FLAIR MR image.
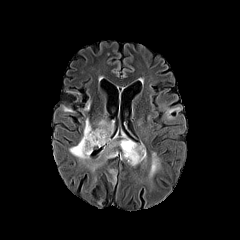
T1-weighted MR image.
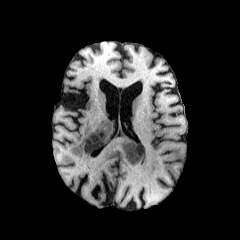
Post-contrast T1-weighted MRI.
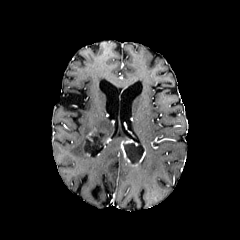
T2-weighted magnetic resonance.
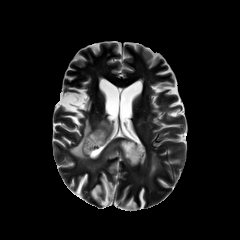
Axial view
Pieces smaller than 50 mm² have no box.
enhancing tumor at left=120, top=139, right=138, bottom=166
peritumoral edema at left=93, top=120, right=113, bottom=146; left=82, top=99, right=90, bottom=110; left=104, top=141, right=121, bottom=159; left=109, top=168, right=117, bottom=186; left=149, top=151, right=159, bottom=177; left=69, top=118, right=92, bottom=161; left=62, top=104, right=74, bottom=113
necrotic tumor core at left=123, top=143, right=144, bottom=164; left=84, top=132, right=104, bottom=151